FLAIR MR.
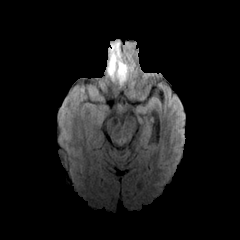
T1-weighted MRI.
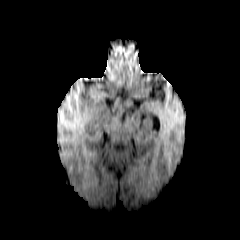
Post-contrast T1-weighted MR.
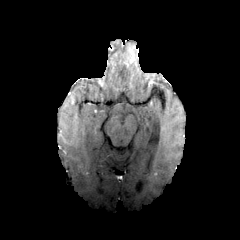
T2-weighted magnetic resonance.
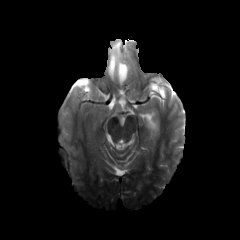
Axial slice; Head
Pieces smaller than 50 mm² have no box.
The largest peritumoral edema region appears at [107,43,127,84].